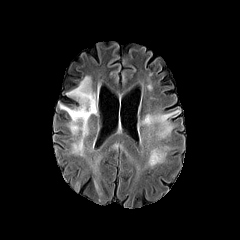
FLAIR MR image.
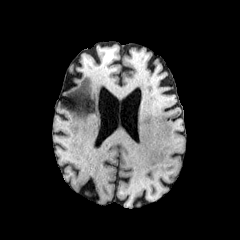
T1-weighted MRI.
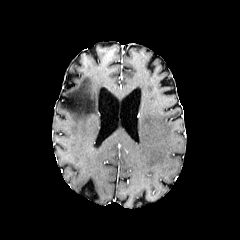
Post-contrast T1-weighted magnetic resonance.
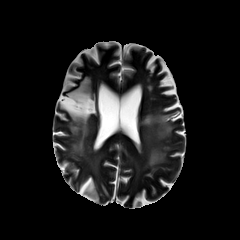
T2-weighted MR image of the same slice.
Axial plane, Image size 240x240, Brain
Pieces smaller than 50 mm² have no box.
The 5 largest peritumoral edema regions are bounded by <bbox>141, 110, 179, 137</bbox>, <bbox>58, 76, 96, 157</bbox>, <bbox>149, 146, 168, 166</bbox>, <bbox>75, 181, 80, 191</bbox>, <bbox>93, 179, 101, 194</bbox>.